Slice index 68 | Image width 240 mm, 1.00 mm slice spacing
FLAIR magnetic resonance.
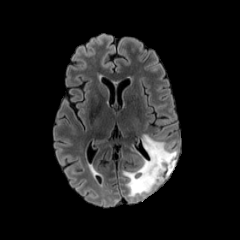
T1-weighted MR image.
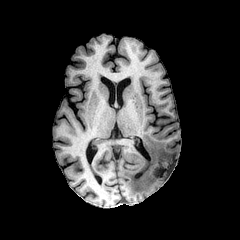
Post-contrast T1-weighted MR image.
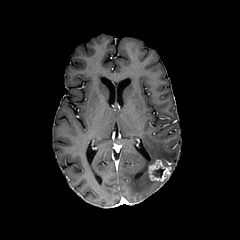
T2-weighted MRI.
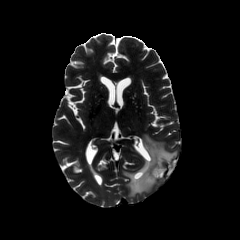
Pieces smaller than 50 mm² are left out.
Annotated regions:
• peritumoral edema: bbox=[123, 134, 177, 197]
• enhancing tumor: bbox=[148, 159, 172, 181]
• necrotic tumor core: bbox=[153, 167, 164, 177]